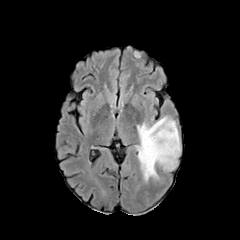
FLAIR MR.
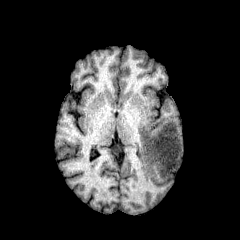
T1-weighted MR image.
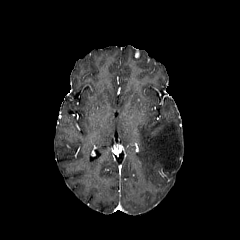
Same slice, post-contrast T1-weighted magnetic resonance.
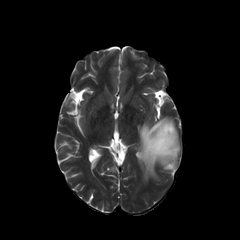
Same slice, T2-weighted magnetic resonance.
Axial view
<segmentation>
  <peritumoral_edema>137, 116, 180, 181</peritumoral_edema>
</segmentation>